FLAIR MRI.
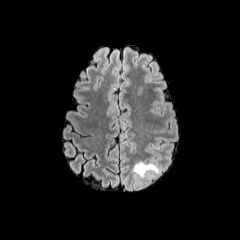
T1-weighted MR.
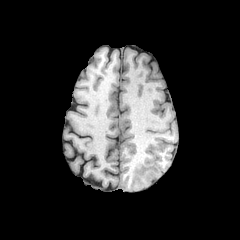
Post-contrast T1-weighted MR.
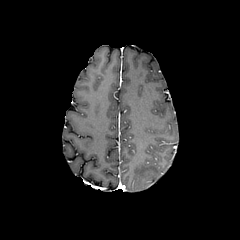
T2-weighted MRI.
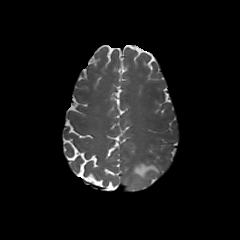
Head, 240x240 px
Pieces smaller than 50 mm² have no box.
Findings:
• peritumoral edema: (left=133, top=161, right=159, bottom=177)